FLAIR MR image.
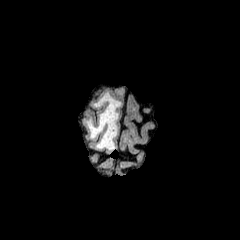
T1-weighted MR.
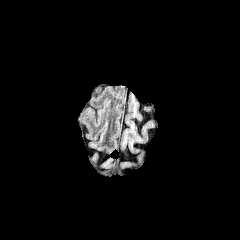
Post-contrast T1-weighted magnetic resonance.
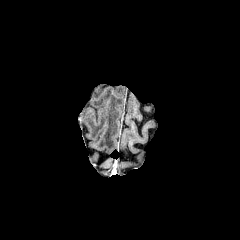
T2-weighted MR image.
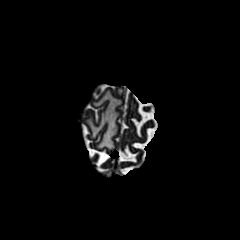
Head | 240x240
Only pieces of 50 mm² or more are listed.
* peritumoral edema: (85, 92, 121, 150)